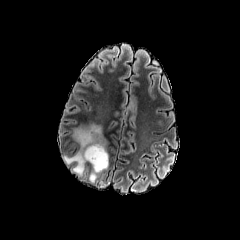
FLAIR MR.
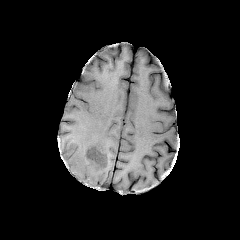
T1-weighted MRI.
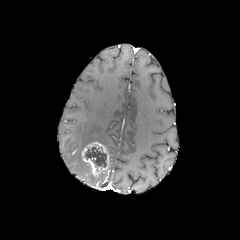
Post-contrast T1-weighted MRI of the same slice.
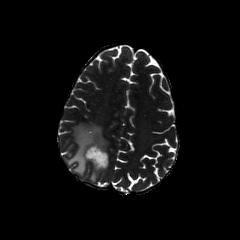
T2-weighted MR image.
Head, 240x240 px
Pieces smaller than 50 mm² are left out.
necrotic tumor core — [85,146,106,167]
peritumoral edema — [64,124,108,176]
enhancing tumor — [81,141,109,176]